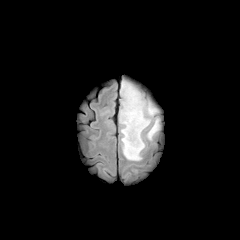
FLAIR magnetic resonance.
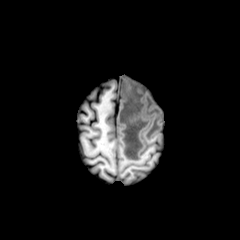
T1-weighted MR image of the same slice.
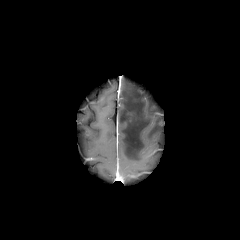
Post-contrast T1-weighted MRI of the same slice.
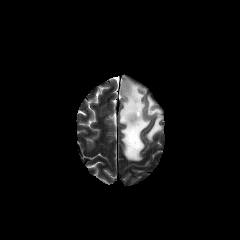
T2-weighted magnetic resonance.
peritumoral edema at x1=120 y1=82 x2=157 y2=160, x1=146 y1=118 x2=159 y2=140